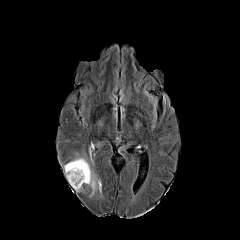
FLAIR MR.
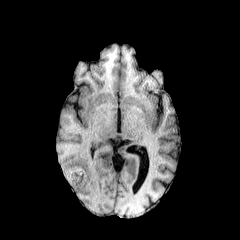
Same slice, T1-weighted MRI.
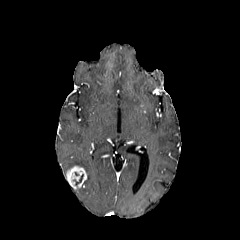
Same slice, post-contrast T1-weighted MRI.
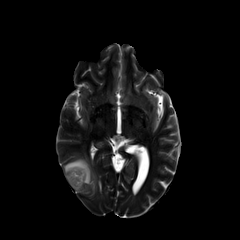
T2-weighted magnetic resonance.
Axial plane.
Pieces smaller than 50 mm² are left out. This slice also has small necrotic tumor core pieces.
Annotated regions:
- peritumoral edema: <box>63,153,101,196</box>
- enhancing tumor: <box>66,166,86,189</box>